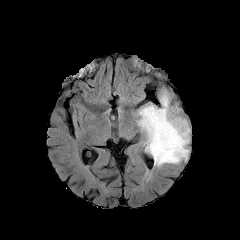
FLAIR MR image.
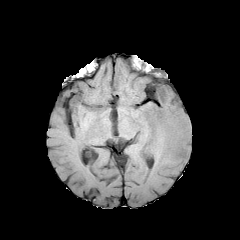
T1-weighted MR image.
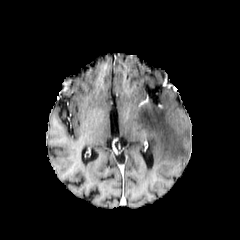
Post-contrast T1-weighted MR.
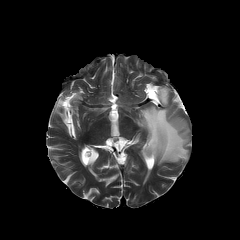
T2-weighted MR image of the same slice.
Image size 240x240; Head; Axial plane
peritumoral edema at bbox=[136, 89, 190, 166]